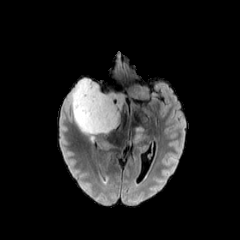
FLAIR MRI.
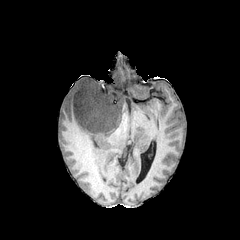
T1-weighted MRI.
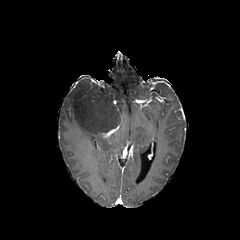
Post-contrast T1-weighted MR image.
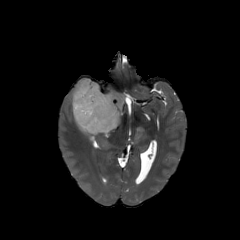
T2-weighted MRI.
Brain | Axial slice
• peritumoral edema: [129,124,148,147], [70,77,125,142]